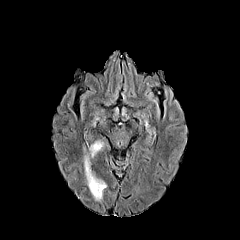
FLAIR magnetic resonance.
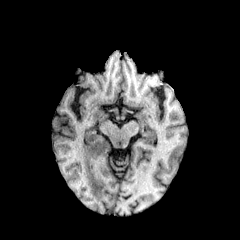
T1-weighted MR image of the same slice.
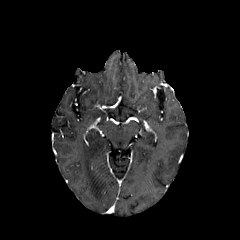
Post-contrast T1-weighted MR image.
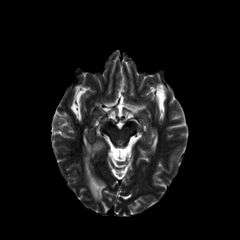
T2-weighted MR image.
240x240; Axial plane
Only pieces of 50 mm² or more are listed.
peritumoral edema = (x1=84, y1=139, x2=107, y2=201)